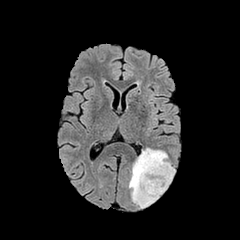
FLAIR MR image.
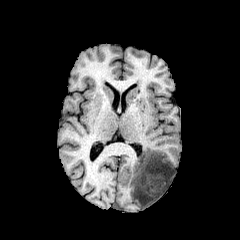
T1-weighted MR.
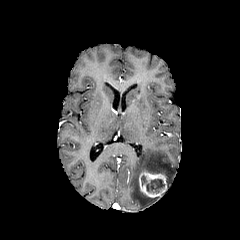
Post-contrast T1-weighted MRI.
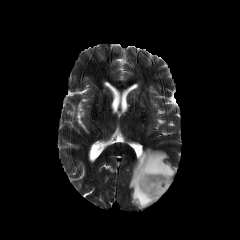
T2-weighted magnetic resonance.
Image size 240x240 | Brain
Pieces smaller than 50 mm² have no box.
necrotic tumor core at 146,179,164,193
peritumoral edema at 129,148,175,208
enhancing tumor at 139,170,167,197